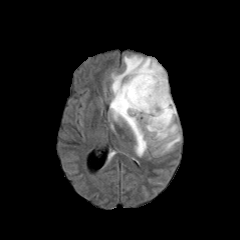
FLAIR magnetic resonance.
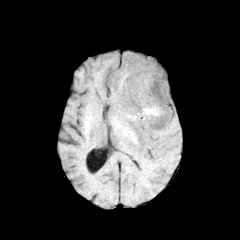
T1-weighted magnetic resonance of the same slice.
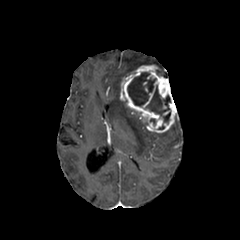
Same slice, post-contrast T1-weighted MRI.
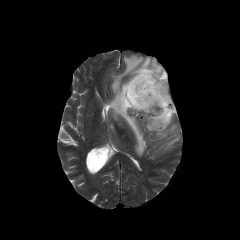
T2-weighted MR image.
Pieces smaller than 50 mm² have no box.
Annotated regions:
• enhancing tumor: (120, 64, 176, 132)
• peritumoral edema: (110, 55, 180, 156)
• necrotic tumor core: (145, 85, 170, 115), (163, 111, 170, 122), (127, 72, 156, 106)